FLAIR magnetic resonance.
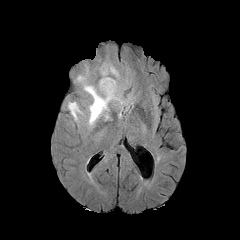
T1-weighted MR image.
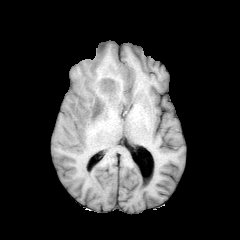
Post-contrast T1-weighted magnetic resonance.
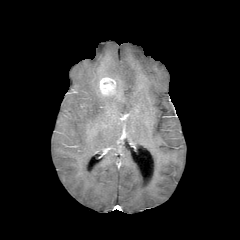
T2-weighted MR.
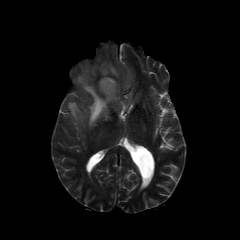
Brain
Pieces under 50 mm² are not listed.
Segmented structures:
* enhancing tumor: left=99, top=77, right=116, bottom=95
* peritumoral edema: left=68, top=102, right=83, bottom=121; left=77, top=76, right=119, bottom=127; left=102, top=66, right=118, bottom=76